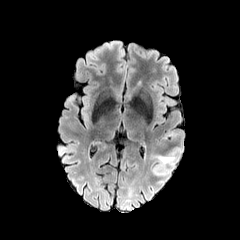
FLAIR magnetic resonance.
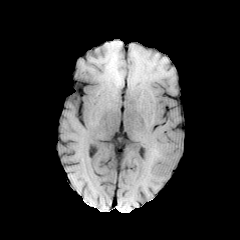
T1-weighted MR.
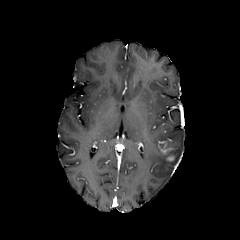
Post-contrast T1-weighted MR image.
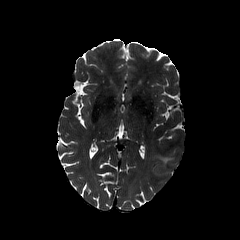
T2-weighted magnetic resonance of the same slice.
Axial plane
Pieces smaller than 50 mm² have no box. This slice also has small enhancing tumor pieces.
<segmentation>
  <peritumoral_edema>[151, 148, 177, 175]</peritumoral_edema>
</segmentation>